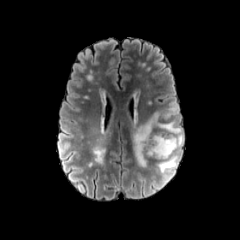
FLAIR MRI.
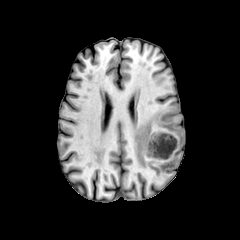
T1-weighted MR.
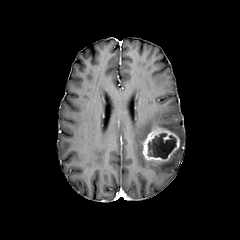
Post-contrast T1-weighted MR image.
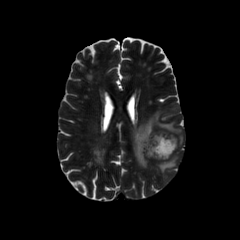
T2-weighted magnetic resonance.
Brain; Axial plane
{"enhancing_tumor": ["(142,129,180,161)"], "peritumoral_edema": ["(167,102,178,117)", "(133,112,183,172)"], "necrotic_tumor_core": ["(148,133,176,158)"]}